Brain; Image width 240 mm
FLAIR MR image.
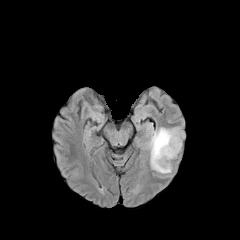
T1-weighted MR image.
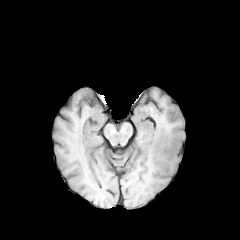
Post-contrast T1-weighted MR.
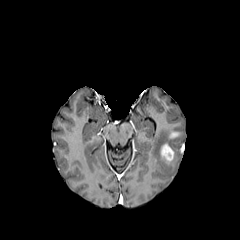
T2-weighted magnetic resonance.
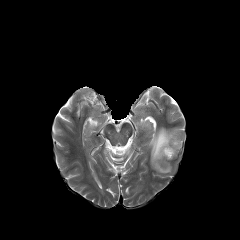
2 enhancing tumor regions are located at box=[160, 143, 174, 164]; box=[169, 131, 179, 138]. The peritumoral edema is located at box=[149, 128, 181, 173].